Slice index 60 | Image width 240 mm
FLAIR magnetic resonance.
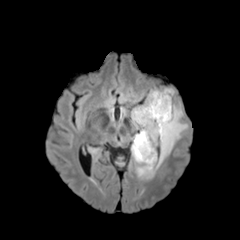
T1-weighted MRI.
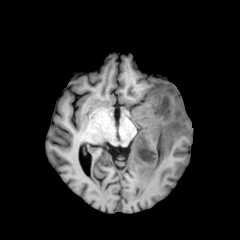
Post-contrast T1-weighted MR.
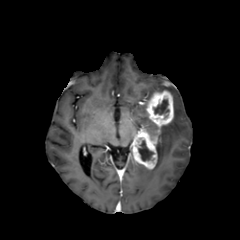
T2-weighted magnetic resonance.
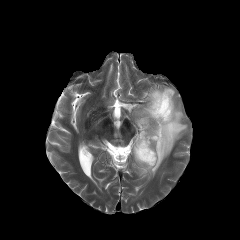
necrotic tumor core: 154 99 168 114, 138 140 153 161 | enhancing tumor: 132 90 173 169 | peritumoral edema: 134 101 187 177, 132 88 174 134